Axial slice; Slice 84 of 155
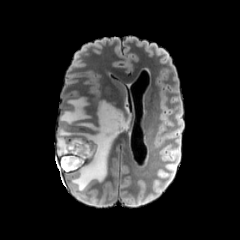
FLAIR MR image.
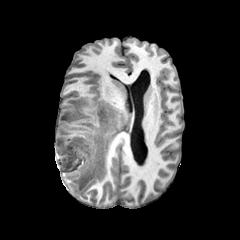
Same slice, T1-weighted MR image.
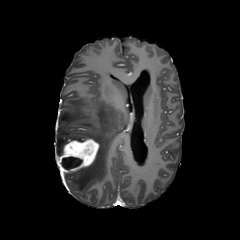
Same slice, post-contrast T1-weighted MR.
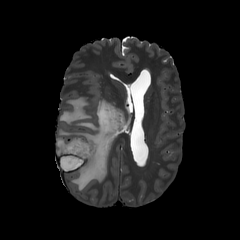
T2-weighted MRI.
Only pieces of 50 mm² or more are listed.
The largest peritumoral edema region appears at {"x1": 56, "y1": 97, "x2": 127, "y2": 192}. The necrotic tumor core lies within {"x1": 61, "y1": 157, "x2": 82, "y2": 169}. The enhancing tumor lies within {"x1": 56, "y1": 138, "x2": 99, "y2": 173}.